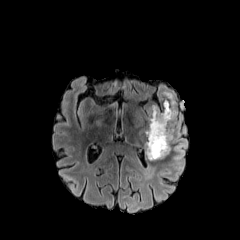
FLAIR MR image.
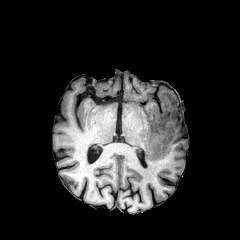
Same slice, T1-weighted MR image.
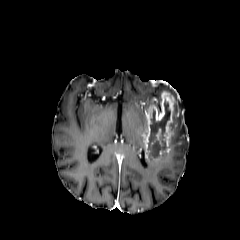
Post-contrast T1-weighted MRI of the same slice.
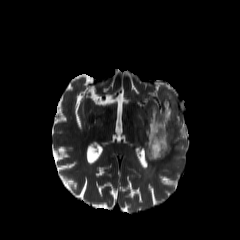
T2-weighted magnetic resonance.
240x240 px | Head
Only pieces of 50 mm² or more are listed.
enhancing tumor: bounding box rect(142, 90, 177, 161); rect(156, 129, 162, 145)
peritumoral edema: bounding box rect(146, 83, 188, 172)
necrotic tumor core: bounding box rect(148, 101, 170, 157)